Brain
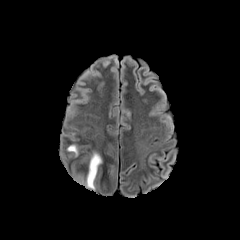
FLAIR MR.
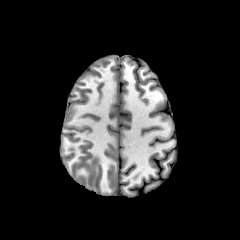
T1-weighted magnetic resonance.
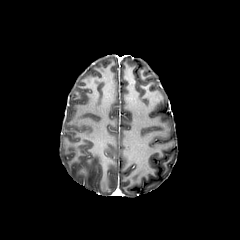
Post-contrast T1-weighted MRI.
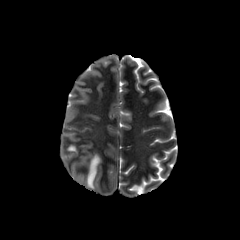
Same slice, T2-weighted MR.
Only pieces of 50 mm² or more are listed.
peritumoral_edema:
  - 67, 145, 77, 155
  - 86, 153, 101, 189